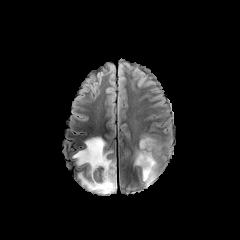
FLAIR MR image.
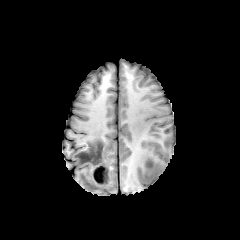
T1-weighted MR image.
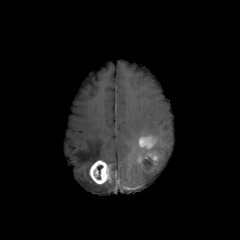
Same slice, post-contrast T1-weighted MR image.
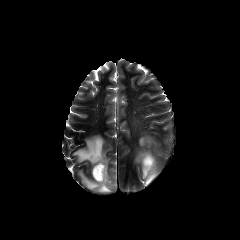
T2-weighted MR.
Head, Axial slice
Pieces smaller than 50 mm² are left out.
<segmentation>
  <necrotic_tumor_core>bbox=[143, 158, 152, 169]</necrotic_tumor_core>
  <peritumoral_edema>bbox=[73, 136, 116, 194]; bbox=[134, 143, 160, 186]</peritumoral_edema>
  <enhancing_tumor>bbox=[138, 153, 157, 173]; bbox=[89, 160, 111, 184]; bbox=[139, 136, 156, 149]</enhancing_tumor>
</segmentation>